Image size 240x240 | Image covers 240 mm x 240 mm | Axial slice
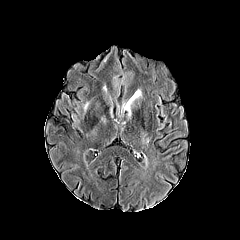
FLAIR MRI.
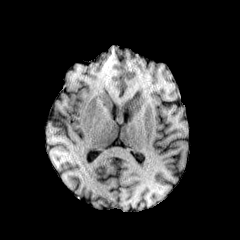
T1-weighted magnetic resonance.
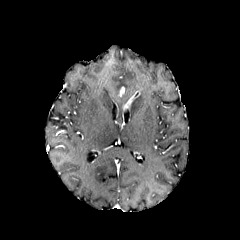
Same slice, post-contrast T1-weighted MRI.
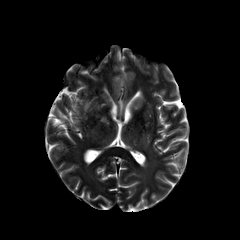
Same slice, T2-weighted MR image.
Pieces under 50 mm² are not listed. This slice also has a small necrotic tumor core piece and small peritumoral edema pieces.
The largest enhancing tumor region is at (123,91,138,110).